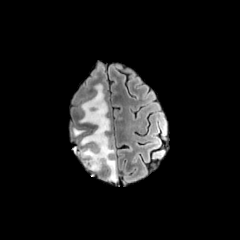
FLAIR MR image.
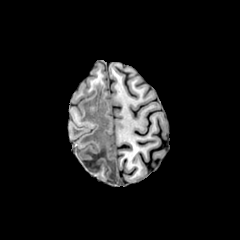
Same slice, T1-weighted MR.
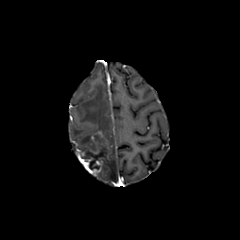
Post-contrast T1-weighted MR of the same slice.
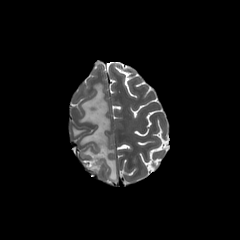
T2-weighted MR image.
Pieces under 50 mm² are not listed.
{"peritumoral_edema": ["bbox(73, 84, 117, 181)", "bbox(73, 128, 83, 135)"], "necrotic_tumor_core": ["bbox(81, 135, 107, 169)"], "enhancing_tumor": ["bbox(76, 148, 109, 174)", "bbox(90, 130, 109, 150)"]}